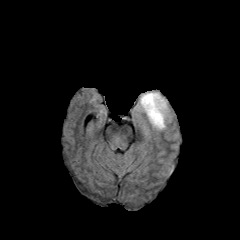
FLAIR MR image.
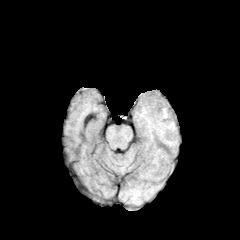
T1-weighted MRI.
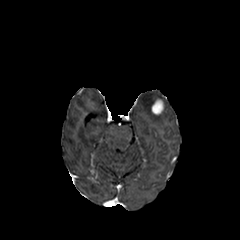
Post-contrast T1-weighted MR image.
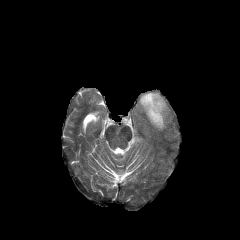
T2-weighted magnetic resonance.
Brain | 240x240
peritumoral edema: [140,92,166,129]
enhancing tumor: [151,98,164,114]